Axial slice
FLAIR MR image.
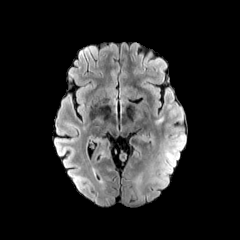
T1-weighted MR image.
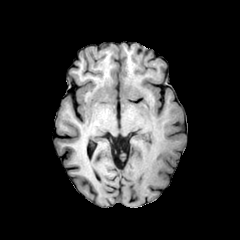
Post-contrast T1-weighted magnetic resonance.
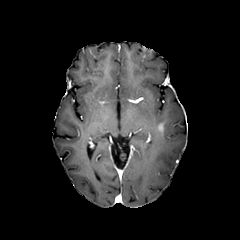
T2-weighted MR image.
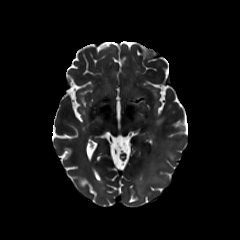
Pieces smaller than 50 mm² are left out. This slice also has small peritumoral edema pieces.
enhancing_tumor:
  - rect(157, 123, 163, 132)